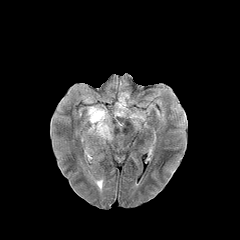
FLAIR MR image.
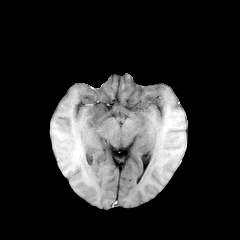
T1-weighted MRI.
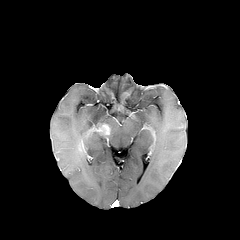
Post-contrast T1-weighted MRI.
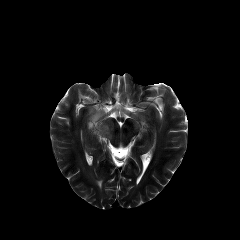
T2-weighted MRI.
240x240 px
enhancing_tumor:
  - {"x1": 89, "y1": 123, "x2": 110, "y2": 134}
peritumoral_edema:
  - {"x1": 88, "y1": 130, "x2": 111, "y2": 138}
  - {"x1": 88, "y1": 107, "x2": 111, "y2": 131}